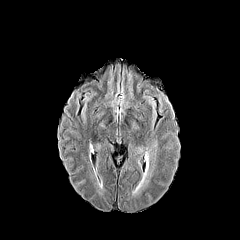
FLAIR MR image.
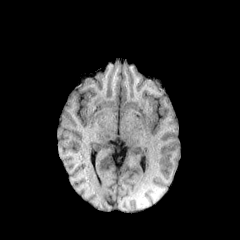
Same slice, T1-weighted MR image.
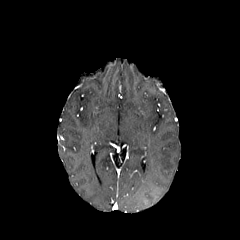
Post-contrast T1-weighted MRI of the same slice.
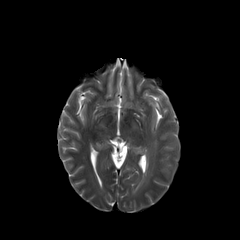
T2-weighted magnetic resonance.
240x240 px, Head
peritumoral edema: x1=132, y1=173, x2=150, y2=193